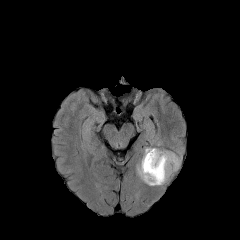
FLAIR MR image.
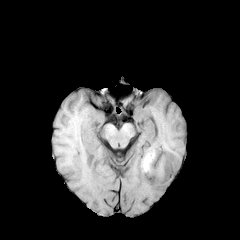
T1-weighted MR of the same slice.
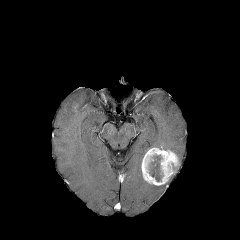
Post-contrast T1-weighted MRI of the same slice.
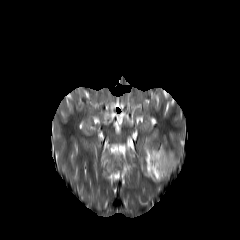
T2-weighted MRI.
Brain; Image size 240x240
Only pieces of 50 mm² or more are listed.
Findings:
• necrotic tumor core: bbox(149, 155, 162, 181)
• enhancing tumor: bbox(141, 147, 179, 185)
• peritumoral edema: bbox(136, 157, 155, 185)